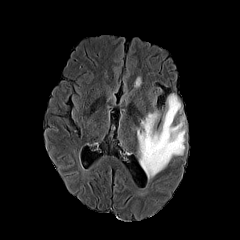
FLAIR MR image.
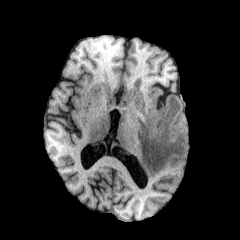
Same slice, T1-weighted MR image.
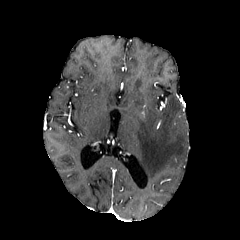
Post-contrast T1-weighted MR image.
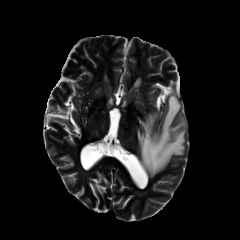
T2-weighted MRI.
Head
peritumoral edema = <box>137,94,186,179</box>